FLAIR MRI.
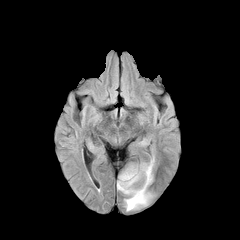
T1-weighted MR.
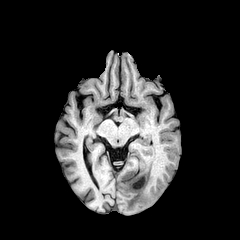
Post-contrast T1-weighted MR image.
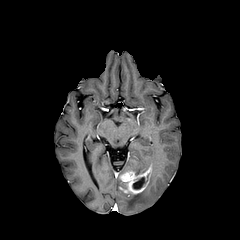
T2-weighted MRI.
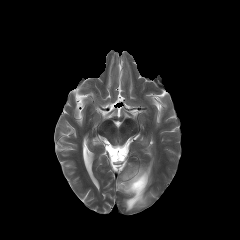
Axial plane; 240x240
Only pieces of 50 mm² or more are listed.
The 2 largest peritumoral edema regions are bounded by 124,187,153,211; 126,157,154,174. The necrotic tumor core appears at 133,177,145,189. The enhancing tumor is at 119,165,151,194.